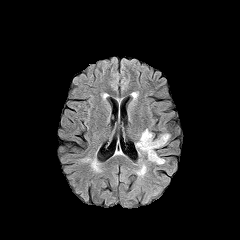
FLAIR MR.
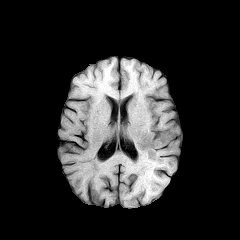
T1-weighted magnetic resonance of the same slice.
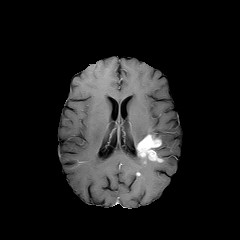
Same slice, post-contrast T1-weighted MR image.
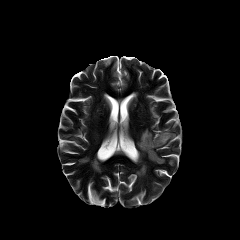
Same slice, T2-weighted MR.
Brain. Axial view.
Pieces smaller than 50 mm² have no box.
The largest enhancing tumor region is at {"x1": 137, "y1": 134, "x2": 162, "y2": 162}. The 3 largest peritumoral edema regions are bounded by {"x1": 157, "y1": 133, "x2": 170, "y2": 146}, {"x1": 139, "y1": 129, "x2": 152, "y2": 141}, {"x1": 138, "y1": 163, "x2": 146, "y2": 175}.